Slice index 25.
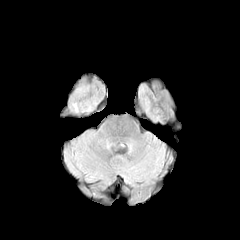
FLAIR MR.
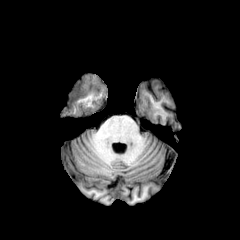
Same slice, T1-weighted magnetic resonance.
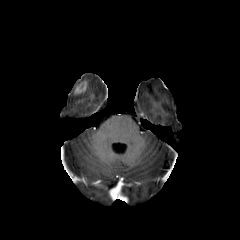
Post-contrast T1-weighted MRI.
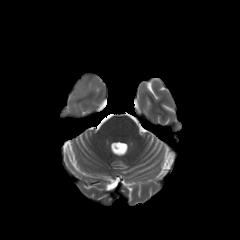
T2-weighted MRI.
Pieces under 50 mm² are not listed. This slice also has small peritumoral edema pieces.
enhancing tumor: <bbox>74, 81, 86, 94</bbox>